Image covers 240 mm x 240 mm; Head; Axial view; Slice index 68
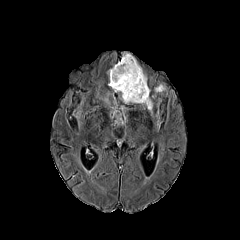
FLAIR MR image.
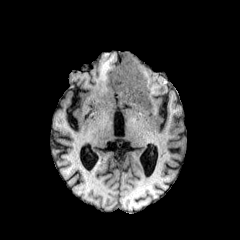
T1-weighted MRI of the same slice.
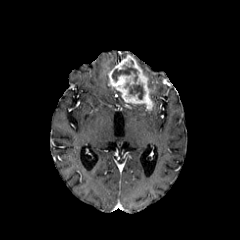
Same slice, post-contrast T1-weighted MR.
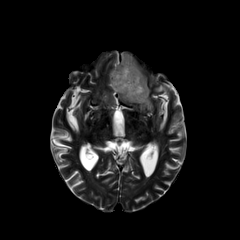
T2-weighted magnetic resonance.
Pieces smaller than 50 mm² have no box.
enhancing tumor = l=108, t=54, r=153, b=110
peritumoral edema = l=154, t=84, r=165, b=91
necrotic tumor core = l=125, t=83, r=144, b=99; l=112, t=65, r=137, b=82